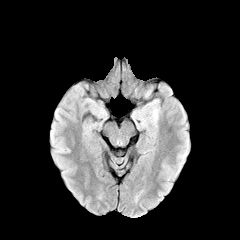
FLAIR MR.
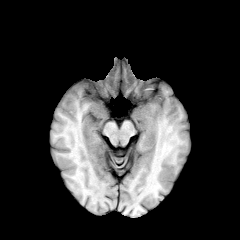
T1-weighted MR image of the same slice.
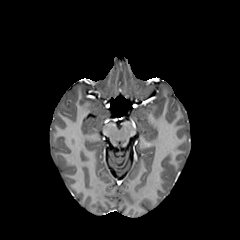
Post-contrast T1-weighted MR image of the same slice.
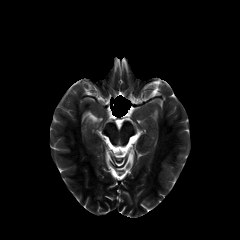
Same slice, T2-weighted magnetic resonance.
Axial view
{
  "peritumoral_edema": [
    "<bbox>151, 107, 158, 125</bbox>"
  ]
}